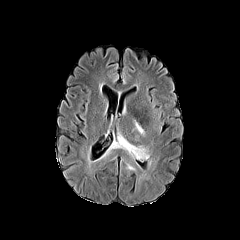
FLAIR MR.
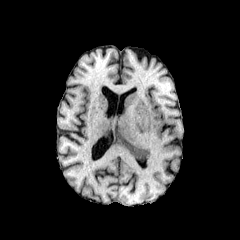
T1-weighted MR.
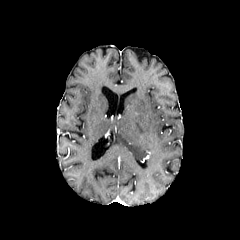
Post-contrast T1-weighted magnetic resonance.
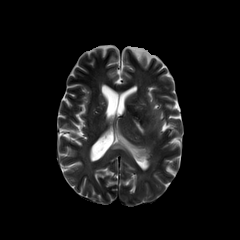
T2-weighted MRI.
Brain
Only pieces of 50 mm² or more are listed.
peritumoral edema at x1=106, y1=133, x2=149, y2=161; x1=132, y1=118, x2=144, y2=136